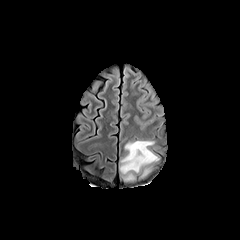
FLAIR MR image.
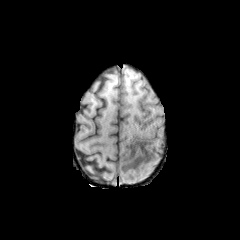
T1-weighted MR.
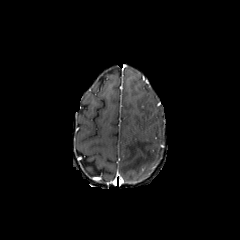
Post-contrast T1-weighted MR image.
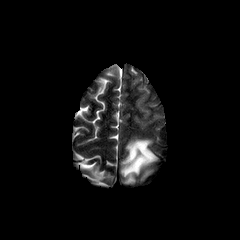
T2-weighted MRI.
Head; Image size 240x240
{
  "peritumoral_edema": [
    "<box>140,168,151,177</box>",
    "<box>120,139,159,180</box>"
  ]
}